Image size 240x240, Brain, Slice 118 of 155, Axial slice
FLAIR MR.
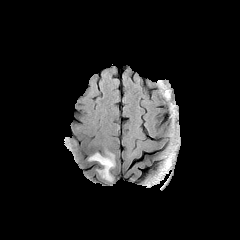
T1-weighted MRI.
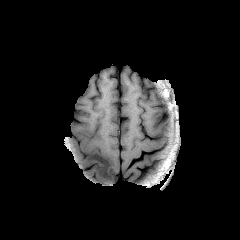
Post-contrast T1-weighted MR.
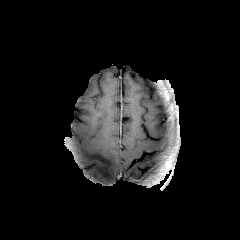
T2-weighted MR.
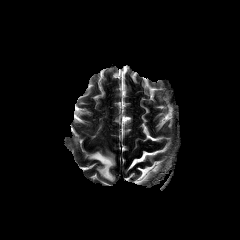
peritumoral_edema:
  - rect(88, 151, 115, 181)